Image covers 240 mm x 240 mm, Slice 73/155, 240x240, Head
FLAIR magnetic resonance.
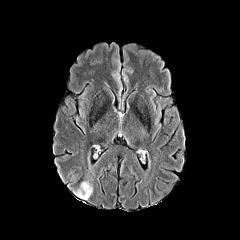
T1-weighted magnetic resonance.
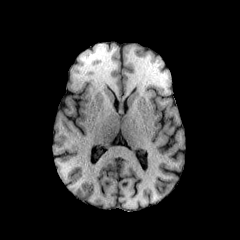
Post-contrast T1-weighted MR image.
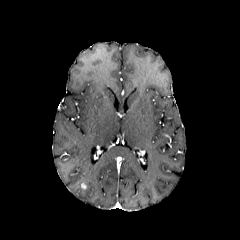
T2-weighted MRI.
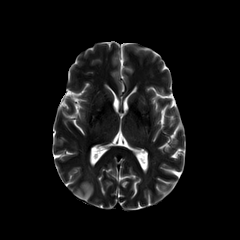
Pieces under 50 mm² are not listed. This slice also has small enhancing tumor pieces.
Findings:
* peritumoral edema: x1=74 y1=181 x2=92 y2=199